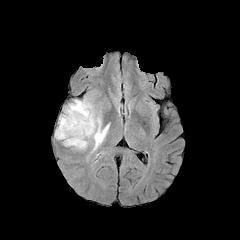
FLAIR MRI.
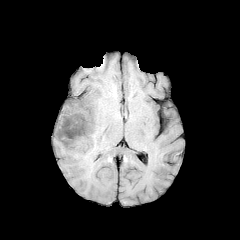
T1-weighted MR.
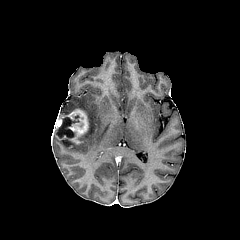
Post-contrast T1-weighted magnetic resonance of the same slice.
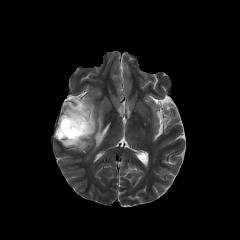
Same slice, T2-weighted MRI.
Head
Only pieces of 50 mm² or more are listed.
The largest peritumoral edema region appears at 60:97:109:151. The largest necrotic tumor core region is located at 56:117:79:137. The enhancing tumor appears at 56:109:88:144.